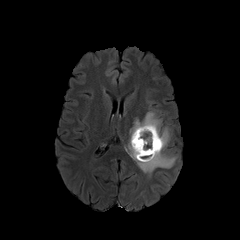
FLAIR MR image.
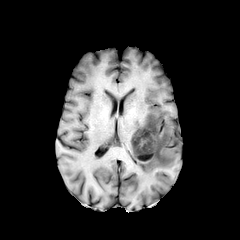
Same slice, T1-weighted MRI.
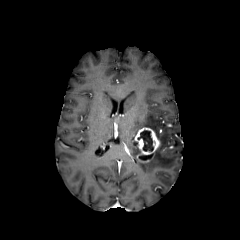
Post-contrast T1-weighted magnetic resonance of the same slice.
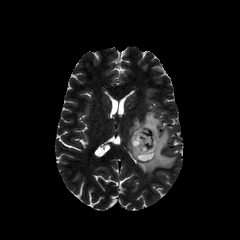
Same slice, T2-weighted MR.
Axial plane, Head
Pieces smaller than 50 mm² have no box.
The largest enhancing tumor region is bounded by [x1=133, y1=127, x2=160, y2=158]. The peritumoral edema is bounded by [x1=128, y1=111, x2=176, y2=173]. The 2 largest necrotic tumor core regions are bounded by [x1=138, y1=154, x2=152, y2=160], [x1=137, y1=130, x2=153, y2=151].